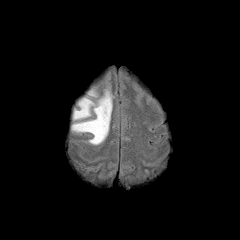
FLAIR MR.
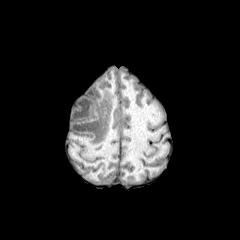
Same slice, T1-weighted MR image.
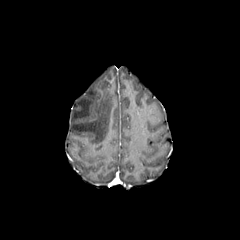
Post-contrast T1-weighted MR image.
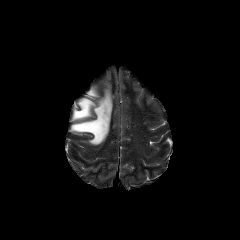
T2-weighted MRI of the same slice.
Image size 240x240 | Head | Axial view
Segmented structures:
* peritumoral edema: {"x1": 71, "y1": 89, "x2": 112, "y2": 144}